Brain | Slice 76/155
FLAIR MR image.
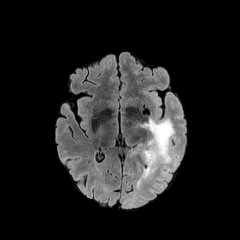
T1-weighted MR image.
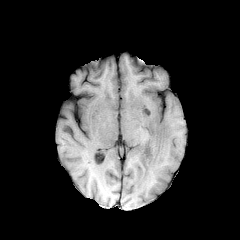
Post-contrast T1-weighted MR.
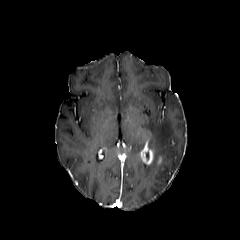
T2-weighted MR image.
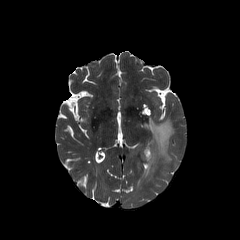
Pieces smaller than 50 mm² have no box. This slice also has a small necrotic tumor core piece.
Annotated regions:
* peritumoral edema: 135,117,179,191
* enhancing tumor: 140,140,154,164